Brain | Axial plane | Slice 22/155
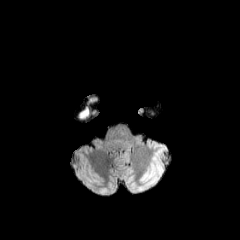
FLAIR MR.
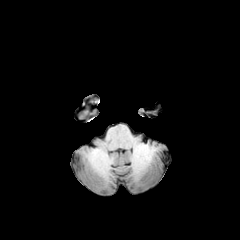
T1-weighted magnetic resonance.
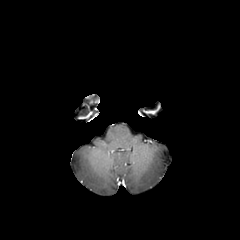
Post-contrast T1-weighted MRI.
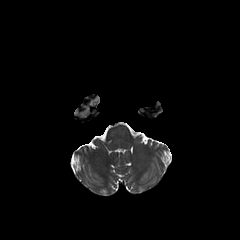
Same slice, T2-weighted magnetic resonance.
The peritumoral edema lies within rect(79, 108, 88, 118).